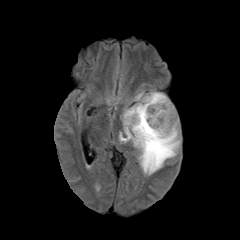
FLAIR magnetic resonance.
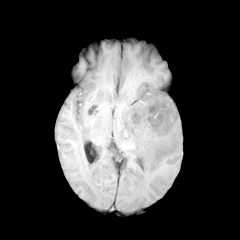
T1-weighted MR of the same slice.
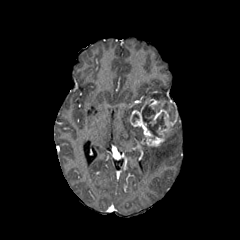
Post-contrast T1-weighted MR.
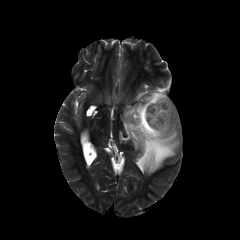
T2-weighted MRI.
Axial slice | Head
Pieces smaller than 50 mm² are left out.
The largest enhancing tumor region is at (130, 98, 178, 146). The 2 largest necrotic tumor core regions appear at (169, 104, 175, 121), (142, 101, 165, 138). 2 peritumoral edema regions appear at (140, 119, 180, 175), (119, 89, 168, 146).